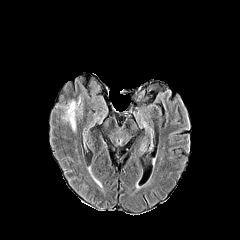
FLAIR MRI.
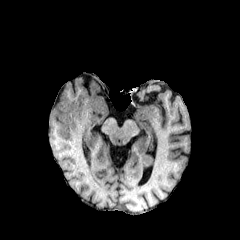
Same slice, T1-weighted MRI.
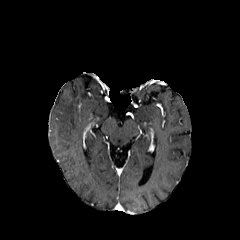
Post-contrast T1-weighted MR.
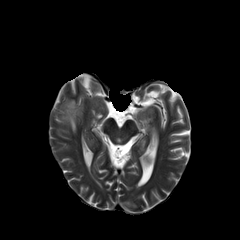
T2-weighted MR image of the same slice.
Axial view, Image size 240x240, Head
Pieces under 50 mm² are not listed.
• peritumoral edema: rect(62, 100, 81, 132)